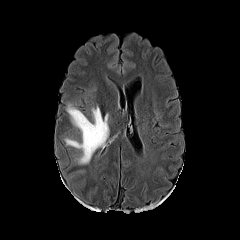
FLAIR MR image.
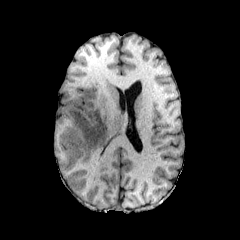
T1-weighted MR image.
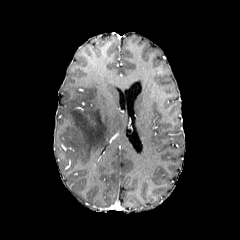
Post-contrast T1-weighted MR.
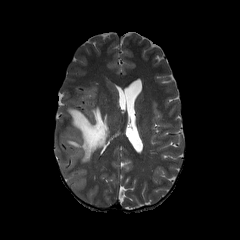
Same slice, T2-weighted MR image.
Image size 240x240.
Findings:
• peritumoral edema: (left=64, top=105, right=110, bottom=164)